Brain; Slice 79/155
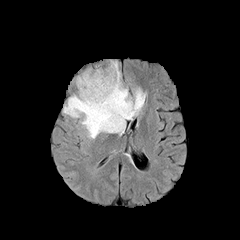
FLAIR magnetic resonance.
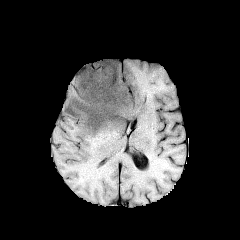
T1-weighted MR.
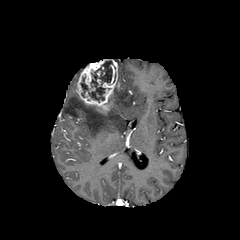
Post-contrast T1-weighted MRI.
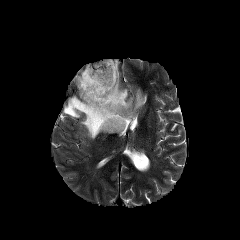
T2-weighted MR of the same slice.
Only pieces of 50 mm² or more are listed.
necrotic tumor core at box=[81, 60, 112, 102]
peritumoral edema at box=[63, 64, 145, 138]
enhancing tumor at box=[76, 59, 119, 114]